Brain
FLAIR MRI.
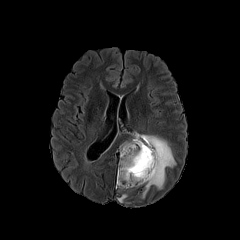
T1-weighted magnetic resonance.
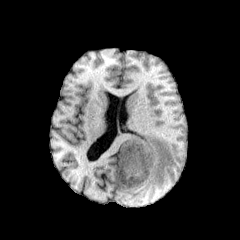
Post-contrast T1-weighted MR.
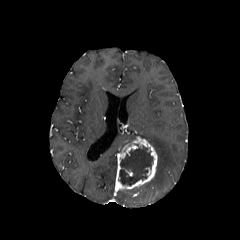
T2-weighted MRI.
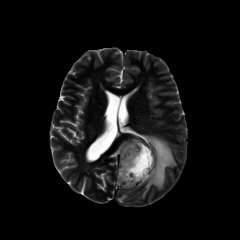
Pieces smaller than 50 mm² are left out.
Segmented structures:
* necrotic tumor core: [119, 146, 152, 185]
* enhancing tumor: [116, 136, 157, 190]
* peritumoral edema: [117, 194, 127, 202], [130, 134, 175, 198]